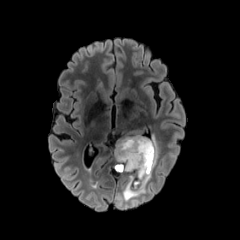
FLAIR MR.
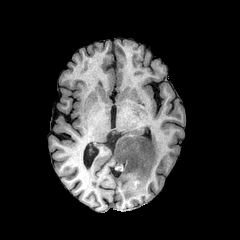
T1-weighted MR of the same slice.
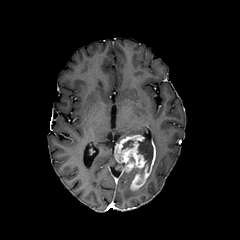
Post-contrast T1-weighted MR of the same slice.
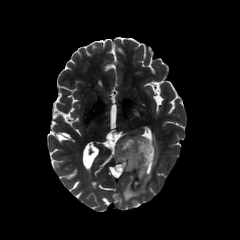
T2-weighted MR of the same slice.
Axial slice, Brain
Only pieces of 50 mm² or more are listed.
enhancing_tumor:
  - <box>114,134,155,190</box>
necrotic_tumor_core:
  - <box>122,140,133,149</box>
  - <box>138,137,153,171</box>
peritumoral_edema:
  - <box>152,135,159,171</box>
  - <box>123,175,146,200</box>